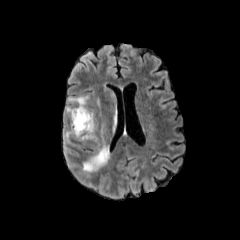
FLAIR MR.
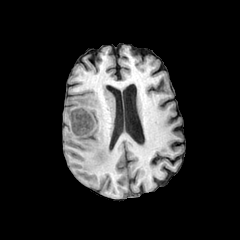
Same slice, T1-weighted MRI.
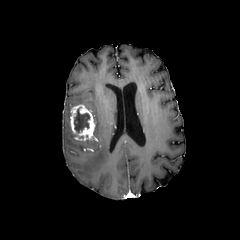
Post-contrast T1-weighted magnetic resonance of the same slice.
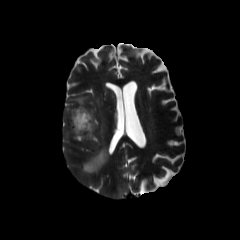
T2-weighted MR of the same slice.
Head; 240x240 px
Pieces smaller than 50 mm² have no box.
• enhancing tumor: bbox=[70, 104, 98, 144]
• peritumoral edema: bbox=[97, 97, 101, 117]; bbox=[68, 96, 88, 107]; bbox=[103, 83, 116, 100]; bbox=[65, 106, 72, 121]; bbox=[81, 109, 117, 175]; bbox=[63, 127, 72, 151]; bbox=[92, 112, 97, 135]
• necrotic tumor core: bbox=[74, 108, 89, 132]